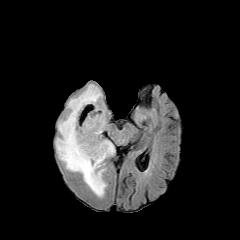
FLAIR MRI.
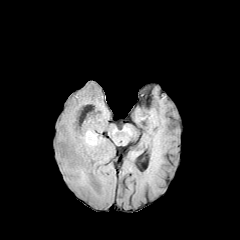
T1-weighted MR image of the same slice.
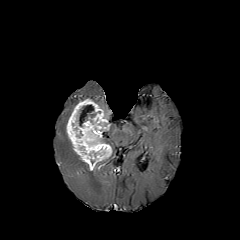
Post-contrast T1-weighted MRI.
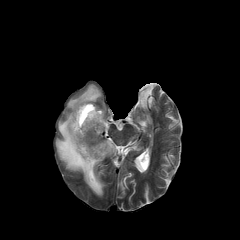
T2-weighted MR.
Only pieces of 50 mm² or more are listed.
enhancing tumor: 66, 98, 112, 170 | necrotic tumor core: 79, 105, 95, 126 | peritumoral edema: 55, 84, 106, 197; 101, 139, 115, 155